Head; Slice 113/155
FLAIR MR.
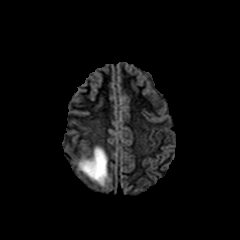
T1-weighted MR image.
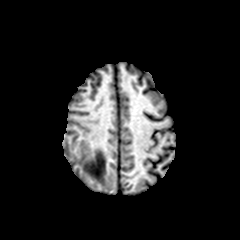
Post-contrast T1-weighted magnetic resonance.
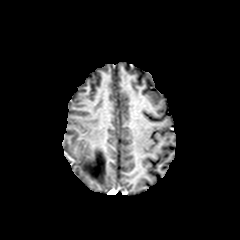
T2-weighted MR.
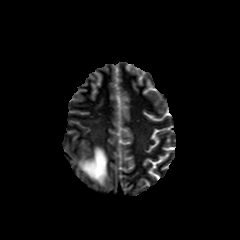
peritumoral edema at (78,147,108,185)